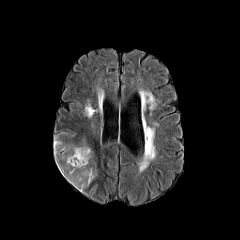
FLAIR MRI.
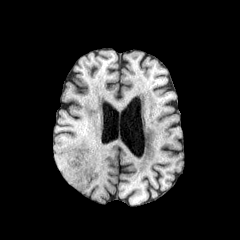
T1-weighted magnetic resonance.
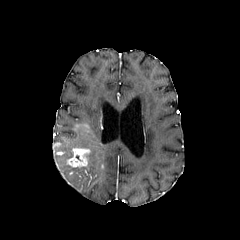
Post-contrast T1-weighted MR.
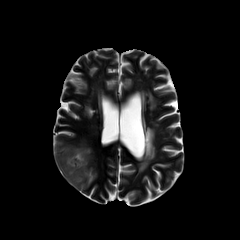
T2-weighted MRI.
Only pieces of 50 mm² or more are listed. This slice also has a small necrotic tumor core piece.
The largest enhancing tumor region lies within (left=67, top=148, right=90, bottom=167). The largest peritumoral edema region lies within (left=53, top=138, right=89, bottom=191).